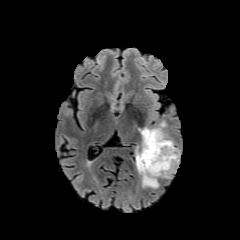
FLAIR MRI.
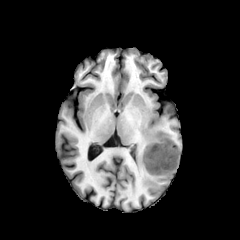
T1-weighted MRI.
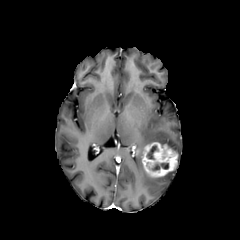
Post-contrast T1-weighted MRI.
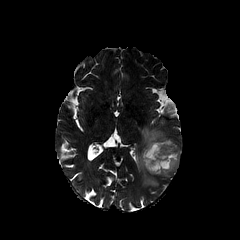
T2-weighted MRI of the same slice.
Axial view. 240x240.
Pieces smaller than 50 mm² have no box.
peritumoral_edema:
  - 136, 127, 179, 188
necrotic_tumor_core:
  - 152, 163, 168, 170
  - 147, 145, 156, 159
enhancing_tumor:
  - 142, 142, 178, 177